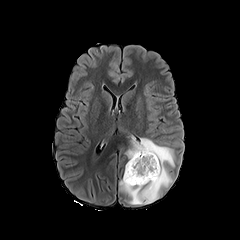
FLAIR magnetic resonance.
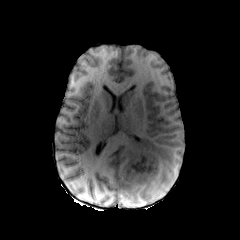
T1-weighted MR.
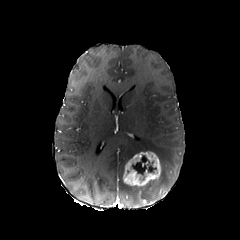
Post-contrast T1-weighted MR image.
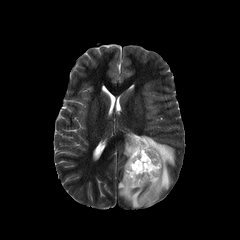
T2-weighted MR.
Head. Axial plane. 240x240.
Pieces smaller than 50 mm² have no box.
necrotic tumor core: [131, 155, 156, 175]
enhancing tumor: [123, 151, 160, 186]
peritumoral edema: [119, 134, 176, 204]